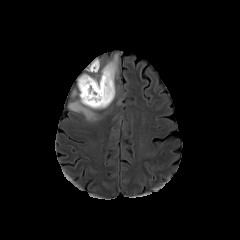
FLAIR magnetic resonance.
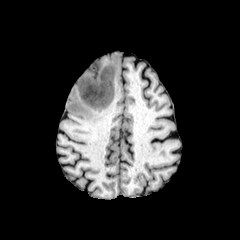
Same slice, T1-weighted MR.
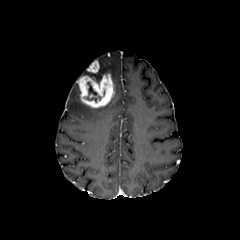
Same slice, post-contrast T1-weighted MRI.
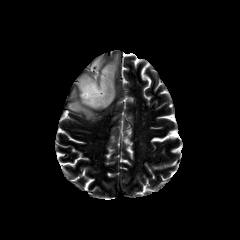
T2-weighted MR.
Axial plane | Brain
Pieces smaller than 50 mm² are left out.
The largest peritumoral edema region lies within <bbox>68, 53, 118, 121</bbox>. 2 enhancing tumor regions are bounded by <bbox>77, 73, 114, 107</bbox>, <bbox>87, 60, 99, 73</bbox>. The largest necrotic tumor core region is at <bbox>87, 82, 97, 95</bbox>.